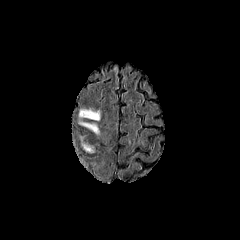
FLAIR MR.
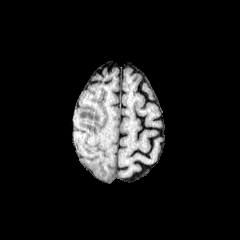
T1-weighted MR image of the same slice.
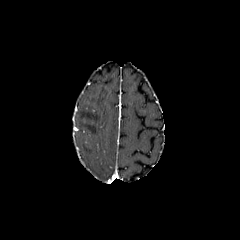
Same slice, post-contrast T1-weighted magnetic resonance.
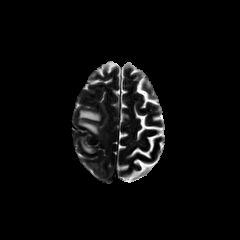
Same slice, T2-weighted MR.
Brain. Axial plane.
3 peritumoral edema regions are bounded by <box>79,121,99,134</box>, <box>79,109,100,120</box>, <box>82,142,93,152</box>.